FLAIR magnetic resonance.
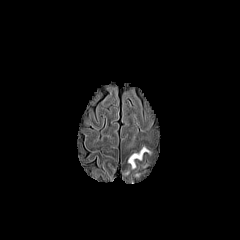
T1-weighted MR image.
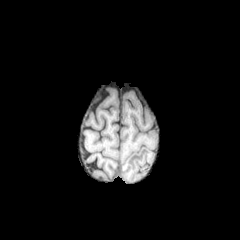
Post-contrast T1-weighted MR.
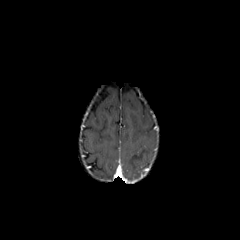
T2-weighted MR image.
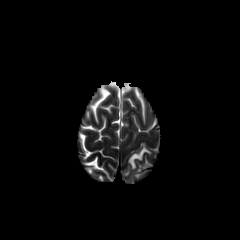
Axial plane
peritumoral edema — <bbox>128, 147, 149, 168</bbox>